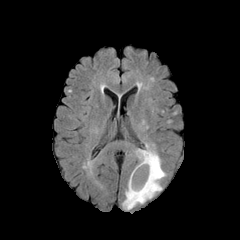
FLAIR MR.
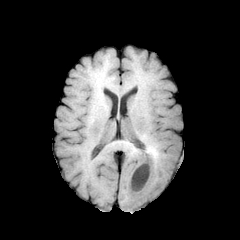
T1-weighted MRI of the same slice.
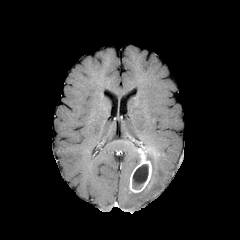
Post-contrast T1-weighted MR image.
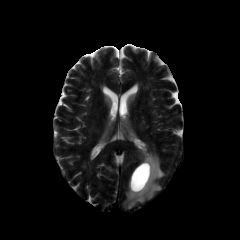
T2-weighted magnetic resonance.
240x240 px | Axial plane | Head
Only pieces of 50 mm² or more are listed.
peritumoral edema at (122, 144, 165, 209)
necrotic tumor core at (132, 164, 148, 188)
enhancing tumor at (129, 150, 152, 192)